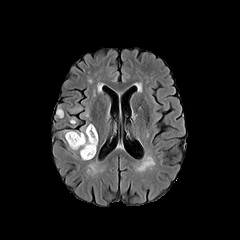
FLAIR MR image.
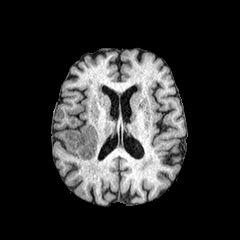
Same slice, T1-weighted magnetic resonance.
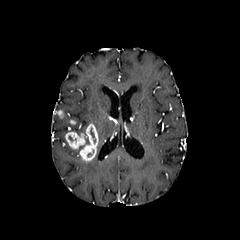
Post-contrast T1-weighted MRI of the same slice.
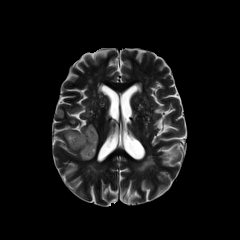
T2-weighted MR.
Axial view
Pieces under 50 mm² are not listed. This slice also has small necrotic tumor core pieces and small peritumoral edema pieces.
enhancing tumor — 65 123 98 161